FLAIR MRI.
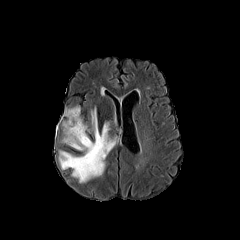
T1-weighted MRI.
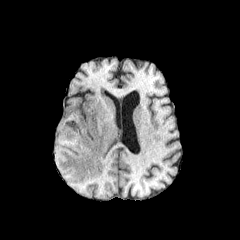
Post-contrast T1-weighted MR.
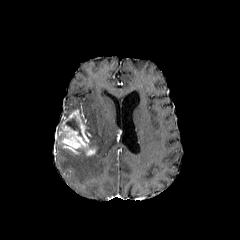
T2-weighted MR image.
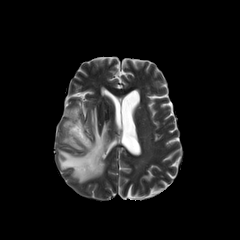
Image size 240x240
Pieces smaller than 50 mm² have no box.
enhancing tumor: 56 109 96 155 | peritumoral edema: 58 108 115 182 | necrotic tumor core: 65 118 82 136